FLAIR MR image.
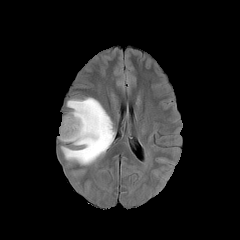
T1-weighted magnetic resonance.
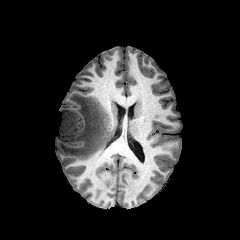
Post-contrast T1-weighted MR image.
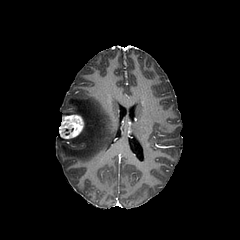
T2-weighted MR.
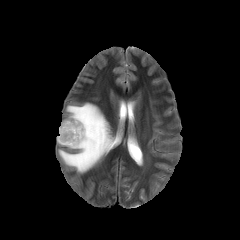
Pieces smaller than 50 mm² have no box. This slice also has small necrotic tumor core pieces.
peritumoral edema = 58:98:114:166
enhancing tumor = 59:115:83:138